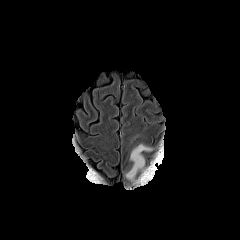
FLAIR MR.
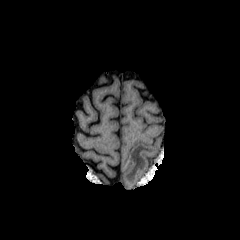
Same slice, T1-weighted magnetic resonance.
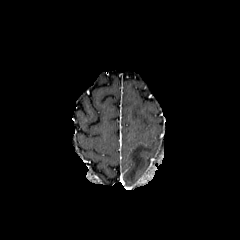
Same slice, post-contrast T1-weighted magnetic resonance.
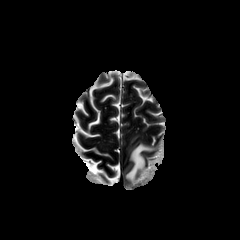
T2-weighted MRI of the same slice.
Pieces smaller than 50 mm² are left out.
The largest peritumoral edema region is bounded by bbox(126, 144, 154, 182).